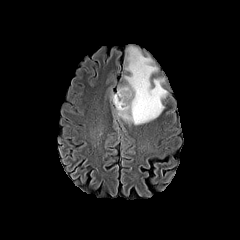
FLAIR MRI.
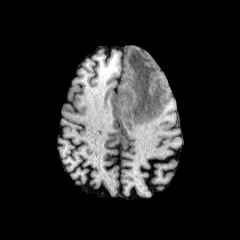
T1-weighted MR.
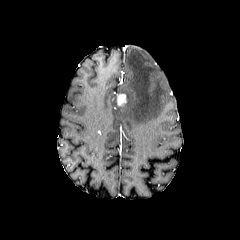
Post-contrast T1-weighted magnetic resonance of the same slice.
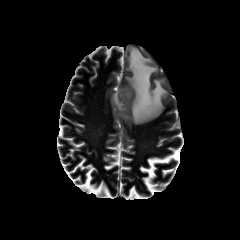
T2-weighted MRI.
Axial slice.
peritumoral edema — [112, 46, 167, 124]
enhancing tumor — [117, 93, 126, 106]